Brain, 240x240 px
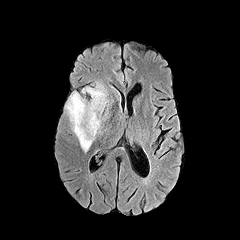
FLAIR MR image.
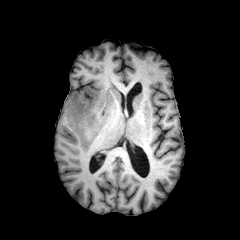
T1-weighted MR image.
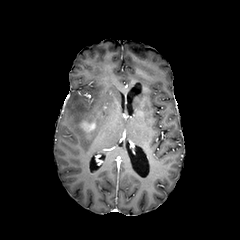
Post-contrast T1-weighted magnetic resonance of the same slice.
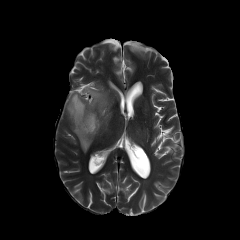
Same slice, T2-weighted MRI.
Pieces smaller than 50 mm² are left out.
peritumoral edema — 66,83,108,152
enhancing tumor — 81,121,95,131